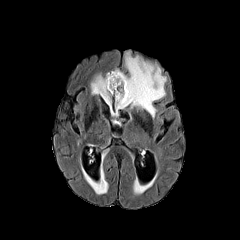
FLAIR magnetic resonance.
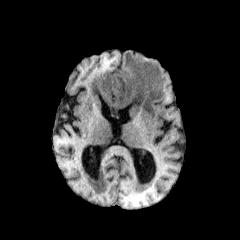
T1-weighted MR.
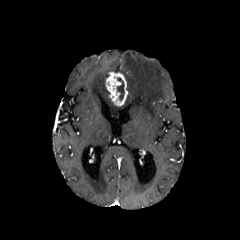
Same slice, post-contrast T1-weighted MR.
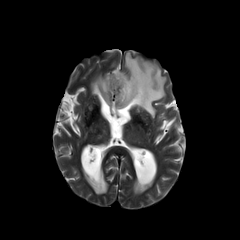
T2-weighted magnetic resonance of the same slice.
Axial plane. Head.
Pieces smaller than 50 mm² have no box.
Segmented structures:
- necrotic tumor core: x1=117, y1=77, x2=124, y2=100
- peritumoral edema: x1=115, y1=52, x2=166, y2=117; x1=85, y1=165, x2=107, y2=194; x1=90, y1=73, x2=111, y2=106
- enhancing tumor: x1=105, y1=72, x2=128, y2=106